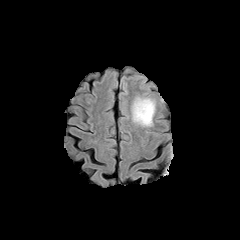
FLAIR magnetic resonance.
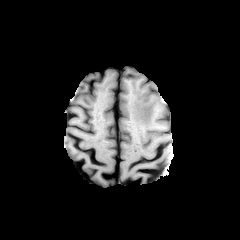
T1-weighted MR of the same slice.
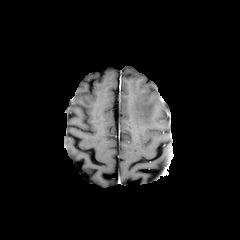
Same slice, post-contrast T1-weighted MR.
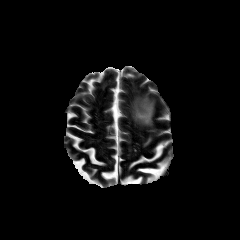
T2-weighted MRI.
240x240. Brain.
peritumoral edema at (132, 98, 154, 126)